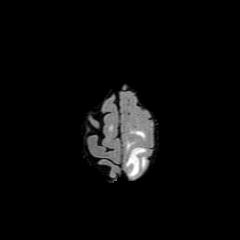
FLAIR MR.
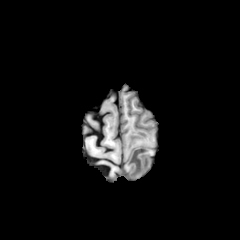
T1-weighted MR image.
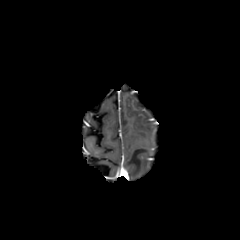
Same slice, post-contrast T1-weighted MR image.
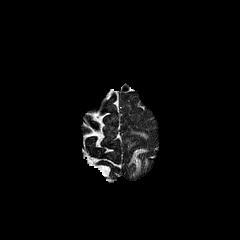
Same slice, T2-weighted magnetic resonance.
240x240 px.
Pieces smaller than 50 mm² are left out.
peritumoral edema: [x1=128, y1=148, x2=145, y2=175]